240x240 | Image covers 240 mm x 240 mm | Axial plane | Brain
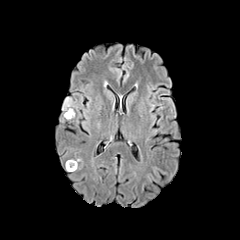
FLAIR magnetic resonance.
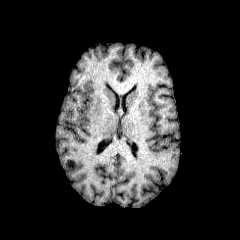
T1-weighted MR image of the same slice.
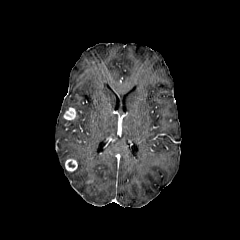
Post-contrast T1-weighted MRI.
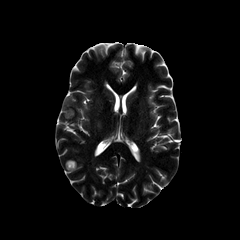
Same slice, T2-weighted MRI.
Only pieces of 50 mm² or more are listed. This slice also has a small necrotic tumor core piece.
The largest peritumoral edema region is bounded by (62,97,77,113). 2 enhancing tumor regions are bounded by (65,159,77,171), (63,107,75,119).